FLAIR MR image.
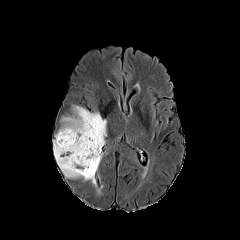
T1-weighted MR image.
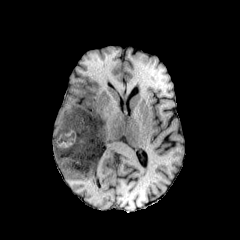
Post-contrast T1-weighted MR image.
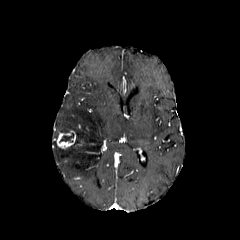
T2-weighted MR image.
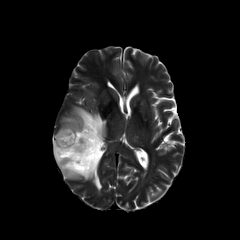
240x240 px
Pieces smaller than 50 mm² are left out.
necrotic tumor core: l=60, t=133, r=74, b=142 | peritumoral edema: l=53, t=106, r=106, b=185 | enhancing tumor: l=56, t=130, r=75, b=149